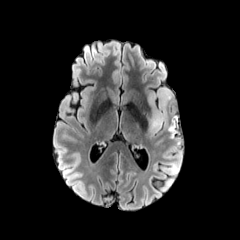
FLAIR MR image.
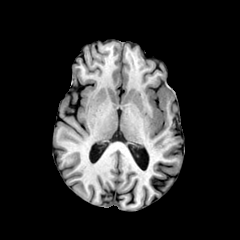
T1-weighted MR image.
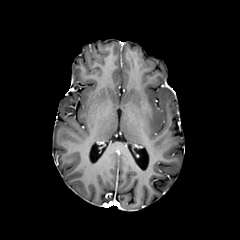
Post-contrast T1-weighted MRI of the same slice.
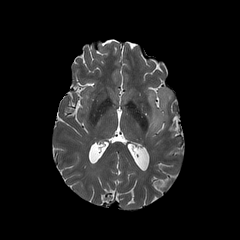
T2-weighted magnetic resonance of the same slice.
Axial plane
{"peritumoral_edema": ["148, 87, 172, 133"]}